FLAIR MR image.
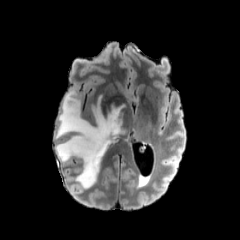
T1-weighted magnetic resonance.
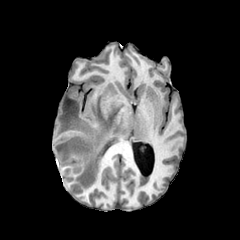
Post-contrast T1-weighted MR.
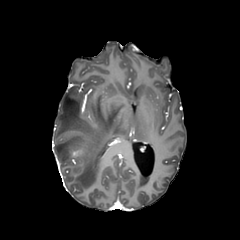
T2-weighted MRI.
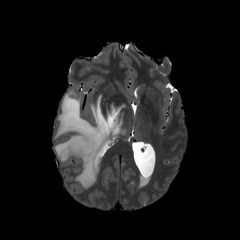
enhancing tumor = (left=71, top=147, right=84, bottom=155)
peritumoral edema = (left=54, top=89, right=125, bottom=188)